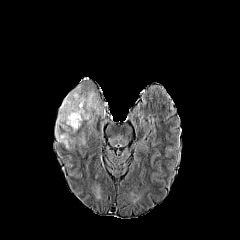
FLAIR MRI.
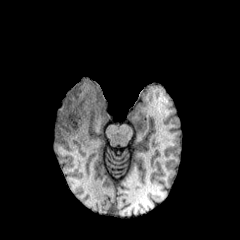
T1-weighted MR of the same slice.
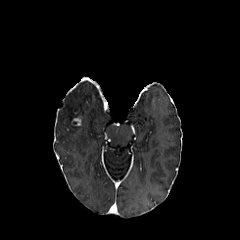
Same slice, post-contrast T1-weighted magnetic resonance.
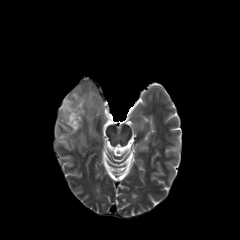
T2-weighted MRI.
240x240 | Head
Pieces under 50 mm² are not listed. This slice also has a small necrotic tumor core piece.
The enhancing tumor is located at rect(72, 117, 81, 125). The peritumoral edema appears at rect(56, 85, 107, 150).